FLAIR MR image.
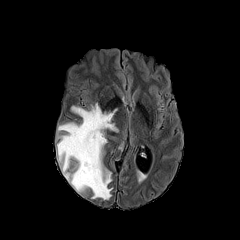
T1-weighted MRI.
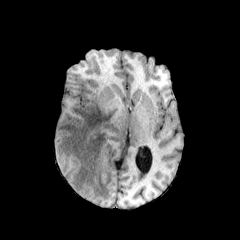
Post-contrast T1-weighted magnetic resonance.
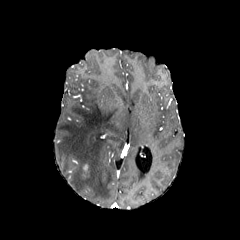
T2-weighted MR.
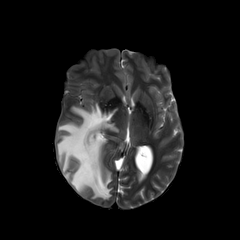
Axial plane; Brain; Image size 240x240
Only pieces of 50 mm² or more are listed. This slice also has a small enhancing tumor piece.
peritumoral edema: bounding box [57,103,118,199]